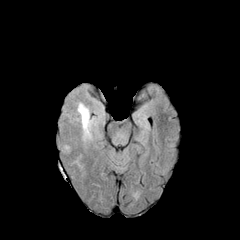
FLAIR MRI.
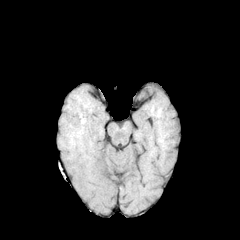
T1-weighted magnetic resonance.
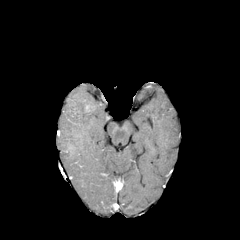
Post-contrast T1-weighted MRI.
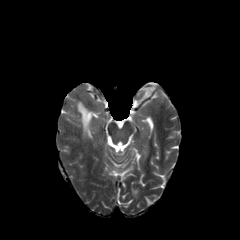
Same slice, T2-weighted MR image.
Axial slice | Head
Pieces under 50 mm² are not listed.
The largest peritumoral edema region is bounded by [77,102,92,139].